FLAIR magnetic resonance.
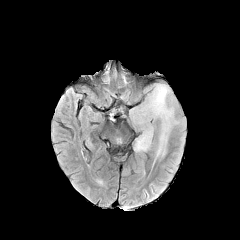
T1-weighted magnetic resonance.
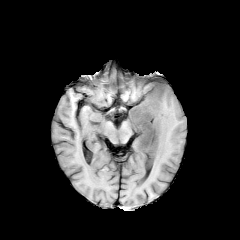
Post-contrast T1-weighted MR.
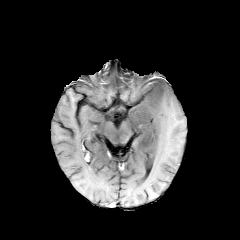
T2-weighted MRI.
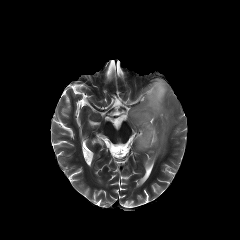
Brain
peritumoral_edema:
  - bbox(128, 79, 184, 158)